FLAIR MR image.
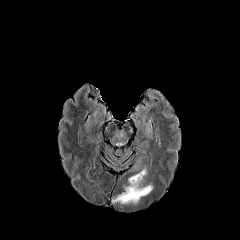
T1-weighted magnetic resonance.
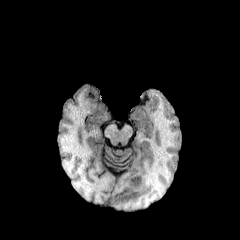
Post-contrast T1-weighted magnetic resonance.
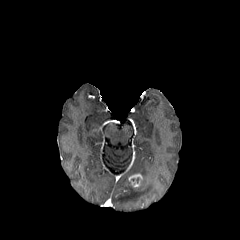
T2-weighted MR.
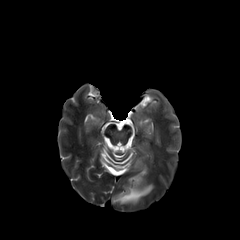
Axial view
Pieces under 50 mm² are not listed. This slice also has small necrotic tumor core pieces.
{"peritumoral_edema": ["[112, 166, 153, 203]"], "enhancing_tumor": ["[128, 173, 142, 187]"]}